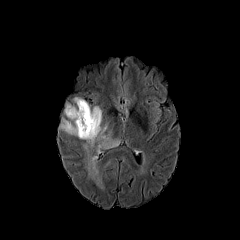
FLAIR magnetic resonance.
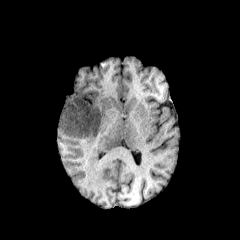
T1-weighted MR of the same slice.
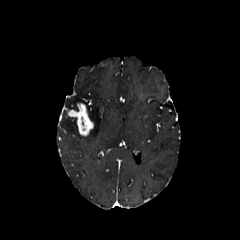
Post-contrast T1-weighted MR image.
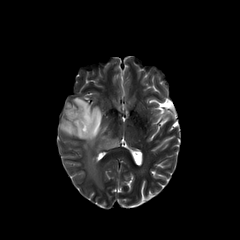
T2-weighted MR image of the same slice.
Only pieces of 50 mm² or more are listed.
Annotated regions:
• enhancing tumor: region(65, 102, 93, 136)
• peritumoral edema: region(60, 97, 119, 188)